FLAIR MR.
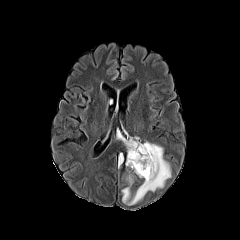
T1-weighted MR.
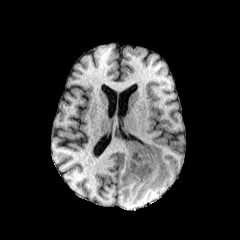
Post-contrast T1-weighted magnetic resonance.
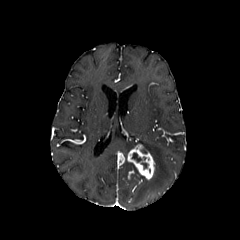
T2-weighted magnetic resonance.
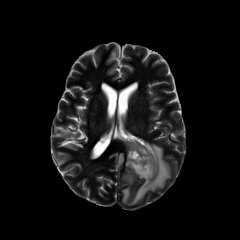
Brain. Image size 240x240.
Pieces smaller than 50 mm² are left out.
Findings:
- enhancing tumor: region(127, 144, 155, 179); region(118, 153, 124, 165)
- necrotic tumor core: region(132, 153, 142, 162)
- peritumoral edema: region(118, 136, 139, 152); region(122, 142, 171, 204)